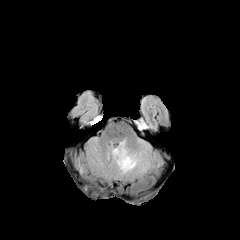
FLAIR magnetic resonance.
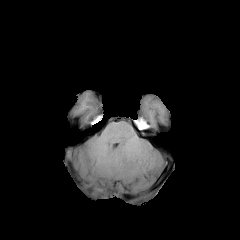
Same slice, T1-weighted MR image.
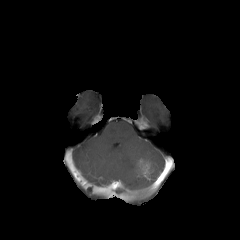
Same slice, post-contrast T1-weighted MR image.
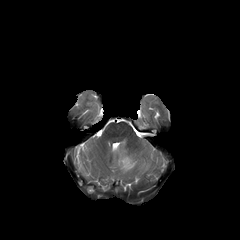
T2-weighted MRI.
Image size 240x240
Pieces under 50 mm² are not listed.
{"peritumoral_edema": ["[x1=110, y1=139, x2=156, y2=178]"], "enhancing_tumor": ["[x1=137, y1=158, x2=152, y2=175]"]}